FLAIR MRI.
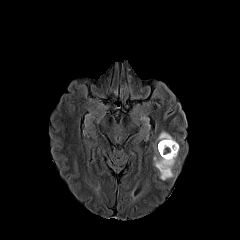
T1-weighted MR image.
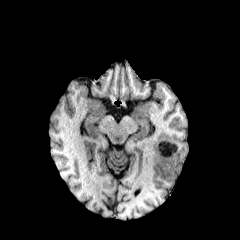
Post-contrast T1-weighted MRI.
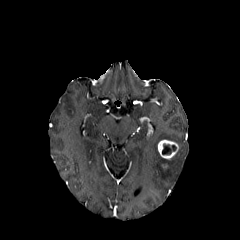
T2-weighted MRI.
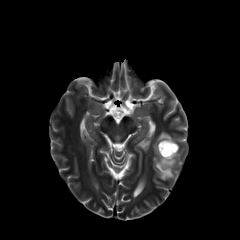
Image size 240x240
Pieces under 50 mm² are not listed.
enhancing tumor: region(158, 139, 178, 159) | peritumoral edema: region(153, 131, 177, 180) | necrotic tumor core: region(162, 144, 176, 154)